FLAIR magnetic resonance.
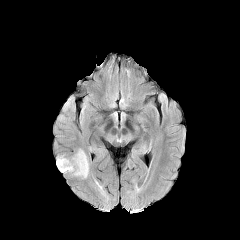
T1-weighted MR image.
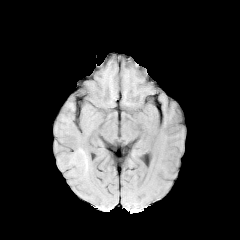
Post-contrast T1-weighted MR.
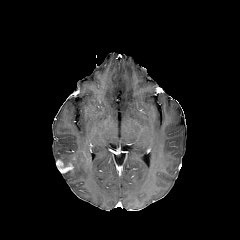
T2-weighted MR image.
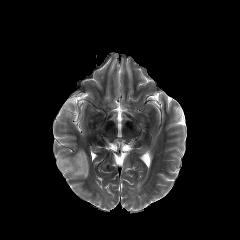
Brain.
enhancing tumor = left=56, top=160, right=73, bottom=172
peritumoral edema = left=56, top=149, right=89, bottom=178